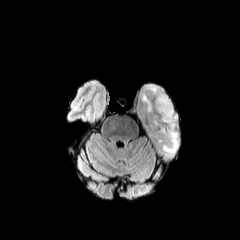
FLAIR MR image.
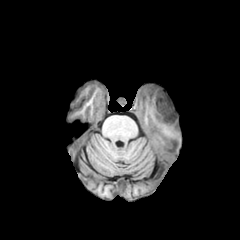
T1-weighted MRI.
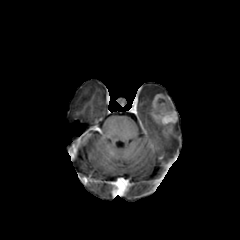
Post-contrast T1-weighted magnetic resonance of the same slice.
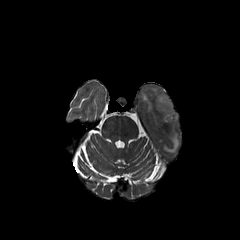
T2-weighted MRI of the same slice.
Axial plane. Image size 240x240.
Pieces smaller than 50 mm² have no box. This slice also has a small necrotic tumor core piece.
enhancing tumor: (left=151, top=93, right=177, bottom=133)
peritumoral edema: (left=142, top=94, right=151, bottom=112), (left=147, top=85, right=166, bottom=95), (left=162, top=121, right=179, bottom=153)